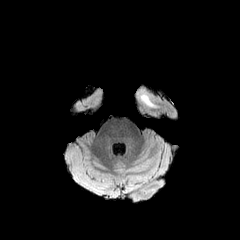
FLAIR MR image.
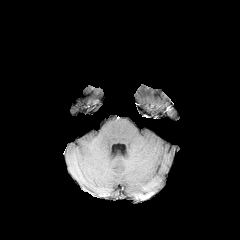
T1-weighted MR.
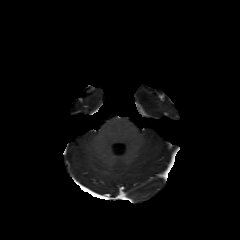
Same slice, post-contrast T1-weighted MR.
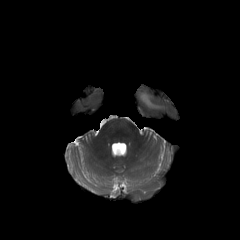
Same slice, T2-weighted MRI.
Brain
The peritumoral edema is located at box=[136, 89, 161, 108].